FLAIR MR.
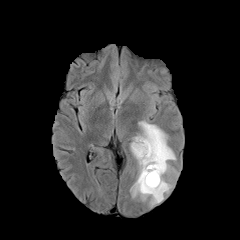
T1-weighted MR.
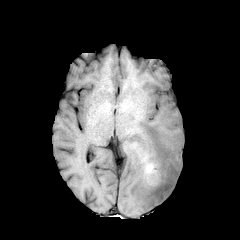
Post-contrast T1-weighted MR.
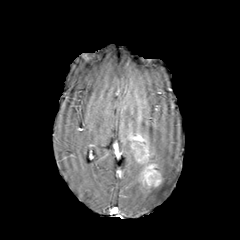
T2-weighted magnetic resonance.
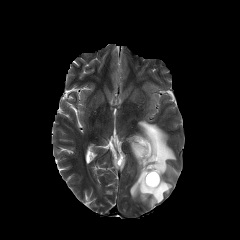
240x240 px
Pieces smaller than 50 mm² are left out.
Annotated regions:
• necrotic tumor core: x1=148 y1=172 x2=156 y2=183
• peritumoral edema: x1=130 y1=120 x2=176 y2=206, x1=130 y1=142 x2=141 y2=160
• enhancing tumor: x1=140 y1=164 x2=161 y2=190, x1=133 y1=135 x2=149 y2=162